Axial view, 240x240, Slice 87 of 155
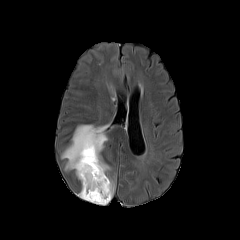
FLAIR magnetic resonance.
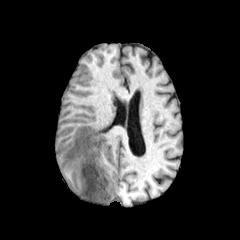
T1-weighted magnetic resonance of the same slice.
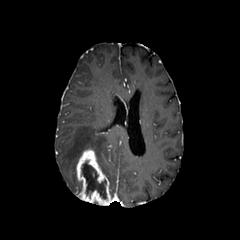
Post-contrast T1-weighted magnetic resonance.
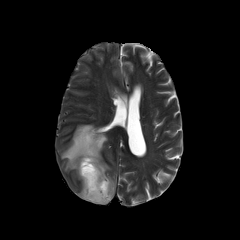
T2-weighted MR of the same slice.
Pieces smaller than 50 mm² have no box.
enhancing tumor = (76,149,111,205)
peritumoral edema = (61,124,110,174), (106,175,115,198)
necrotic tumor core = (82,161,106,199)